FLAIR MR.
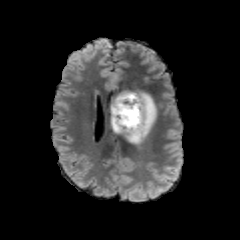
T1-weighted MR.
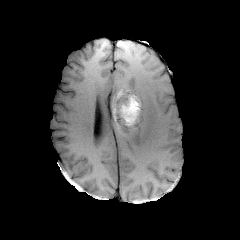
Post-contrast T1-weighted magnetic resonance.
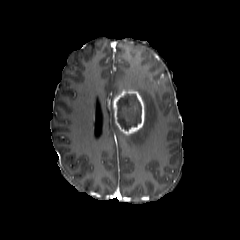
T2-weighted MR.
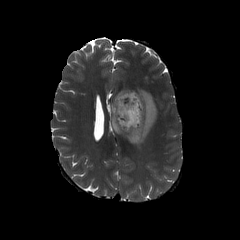
Head
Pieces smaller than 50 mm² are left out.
The enhancing tumor appears at x1=113 y1=91 x2=145 y2=134. The largest peritumoral edema region is bounded by x1=111 y1=90 x2=157 y2=144. The necrotic tumor core is at x1=117 y1=93 x2=141 y2=130.